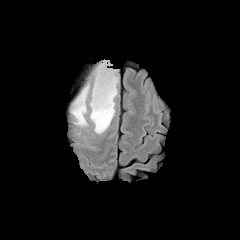
FLAIR magnetic resonance.
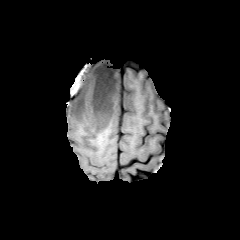
T1-weighted magnetic resonance.
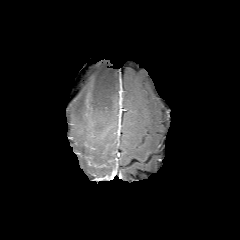
Post-contrast T1-weighted magnetic resonance.
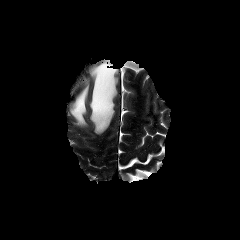
T2-weighted magnetic resonance of the same slice.
Brain
Segmented structures:
- peritumoral edema: <bbox>89, 61, 118, 133</bbox>, <bbox>70, 83, 89, 126</bbox>